FLAIR MR image.
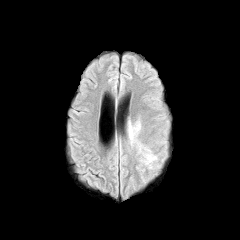
T1-weighted MR image.
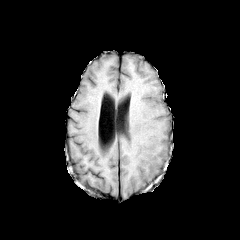
Post-contrast T1-weighted MR image.
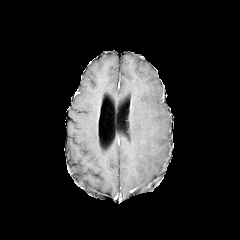
T2-weighted magnetic resonance.
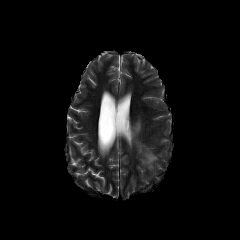
Axial slice
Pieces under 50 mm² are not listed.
peritumoral edema: 147:154:156:163